Image width 240 mm
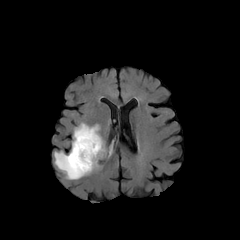
FLAIR magnetic resonance.
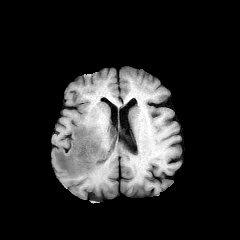
T1-weighted MRI.
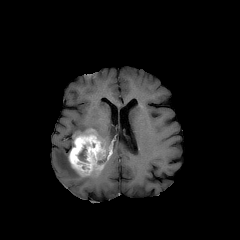
Post-contrast T1-weighted magnetic resonance of the same slice.
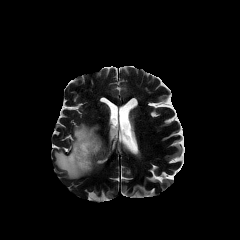
T2-weighted MR of the same slice.
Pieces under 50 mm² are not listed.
peritumoral edema at [73,122,104,146], [54,151,82,179]
enhancing tumor at [68,129,105,176]
necrotic tumor core at [78,147,86,161]